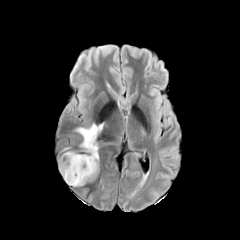
FLAIR MR.
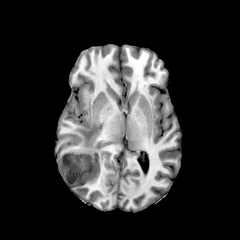
T1-weighted MRI of the same slice.
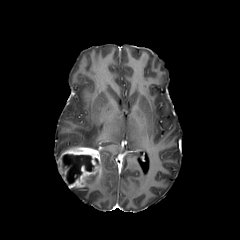
Same slice, post-contrast T1-weighted MR image.
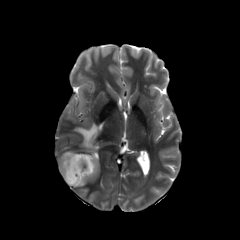
T2-weighted magnetic resonance of the same slice.
Brain
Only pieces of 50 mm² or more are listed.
enhancing tumor: [x1=57, y1=146, x2=100, y2=188] | necrotic tumor core: [x1=62, y1=154, x2=94, y2=184] | peritumoral edema: [x1=75, y1=123, x2=103, y2=149]